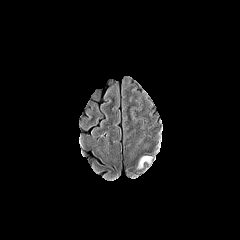
FLAIR MR image.
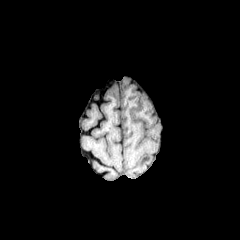
T1-weighted MR.
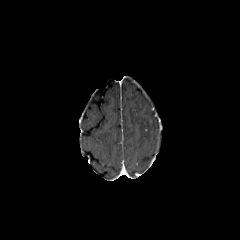
Post-contrast T1-weighted MR image of the same slice.
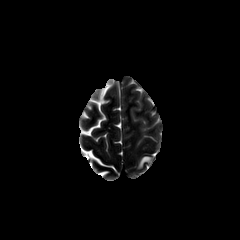
T2-weighted MR image.
Brain
peritumoral edema at [x1=139, y1=156, x2=151, y2=167]